Axial view | Head
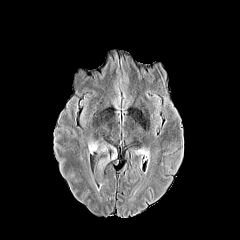
FLAIR magnetic resonance.
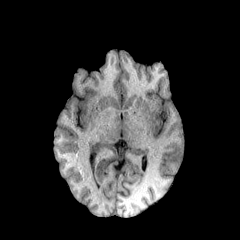
T1-weighted MRI.
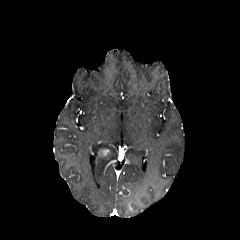
Post-contrast T1-weighted magnetic resonance.
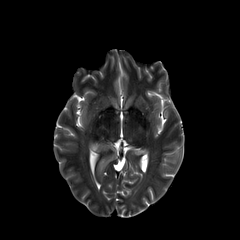
Same slice, T2-weighted MR image.
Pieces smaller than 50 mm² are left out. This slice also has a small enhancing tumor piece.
peritumoral edema at 95, 151, 116, 185; 89, 142, 107, 153